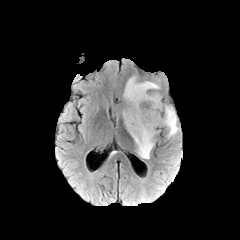
FLAIR MR.
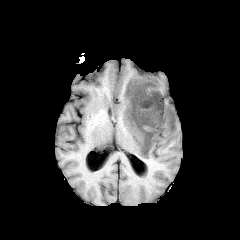
T1-weighted MRI.
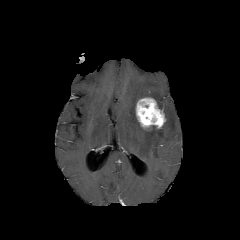
Post-contrast T1-weighted MRI.
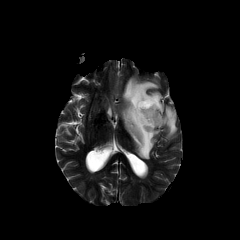
T2-weighted magnetic resonance of the same slice.
Head
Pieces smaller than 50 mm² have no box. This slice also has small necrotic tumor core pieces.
The enhancing tumor appears at bbox=[135, 97, 166, 129]. The peritumoral edema appears at bbox=[122, 76, 178, 159].